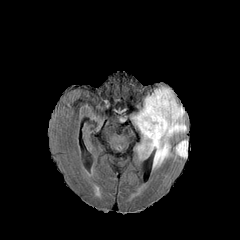
FLAIR MR.
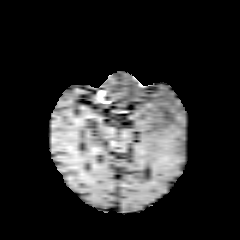
T1-weighted MR.
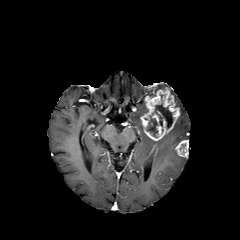
Post-contrast T1-weighted MR.
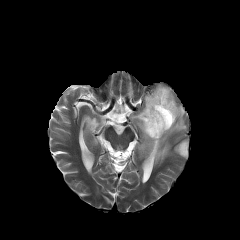
T2-weighted MR.
Image size 240x240, Axial view, Head
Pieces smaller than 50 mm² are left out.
The 2 largest necrotic tumor core regions appear at box(146, 116, 157, 136); box(155, 104, 172, 128). The 2 largest enhancing tumor regions are bounded by box(175, 140, 188, 157); box(140, 87, 180, 141). The largest peritumoral edema region is located at box(132, 98, 186, 167).